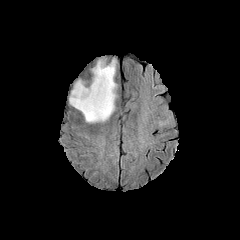
FLAIR MR image.
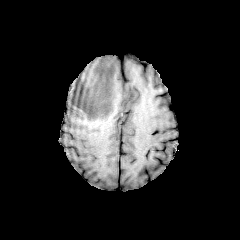
T1-weighted MR image.
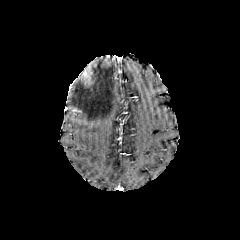
Post-contrast T1-weighted magnetic resonance of the same slice.
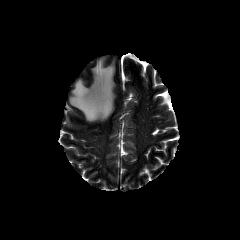
T2-weighted MR.
Brain, 240x240
{"peritumoral_edema": ["69 58 116 122"]}